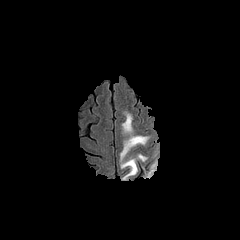
FLAIR magnetic resonance.
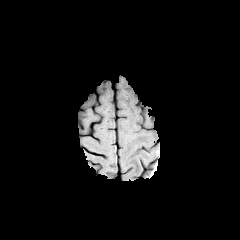
T1-weighted MRI.
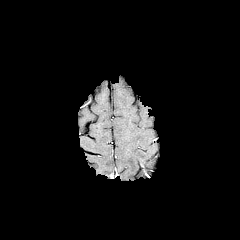
Post-contrast T1-weighted MR of the same slice.
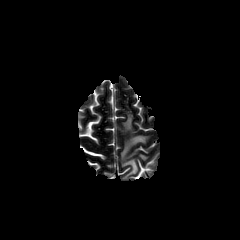
T2-weighted magnetic resonance.
peritumoral edema at [x1=120, y1=111, x2=150, y2=180]